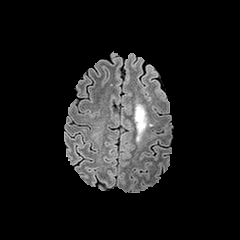
FLAIR MRI.
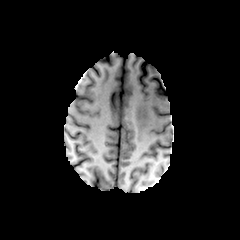
Same slice, T1-weighted MR image.
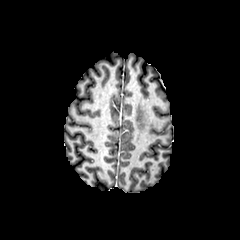
Post-contrast T1-weighted MR image.
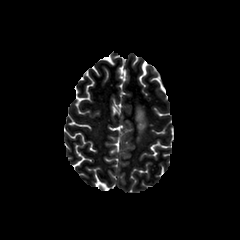
T2-weighted MRI.
Head.
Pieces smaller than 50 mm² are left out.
The largest peritumoral edema region is located at x1=136 y1=105 x2=146 y2=140.